Axial slice
FLAIR MR image.
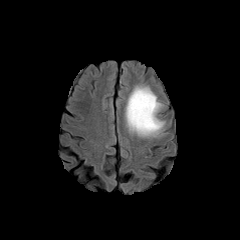
T1-weighted MR image.
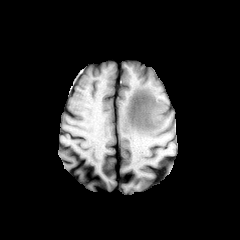
Post-contrast T1-weighted MR image.
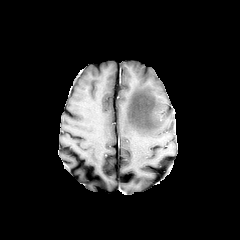
T2-weighted MR.
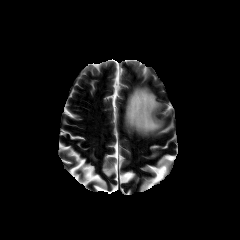
Segmented structures:
• peritumoral edema: (x1=125, y1=86, x2=164, y2=137)